Slice index 94, Head, Axial plane
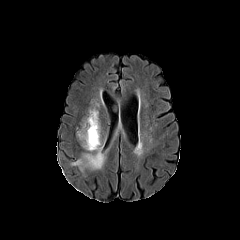
FLAIR magnetic resonance.
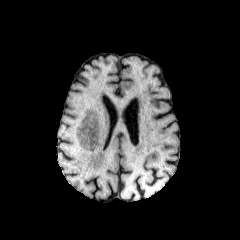
T1-weighted MRI.
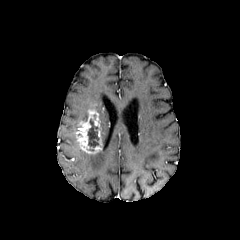
Post-contrast T1-weighted MR image.
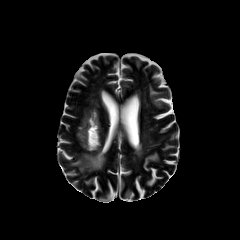
T2-weighted MRI.
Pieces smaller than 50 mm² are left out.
peritumoral edema = left=72, top=151, right=105, bottom=169
necrotic tumor core = left=87, top=119, right=98, bottom=147
enhancing tumor = left=76, top=109, right=102, bottom=154